FLAIR MR.
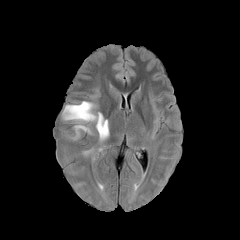
T1-weighted MR.
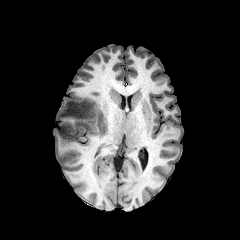
Post-contrast T1-weighted MRI.
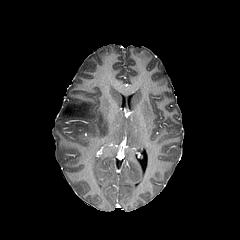
T2-weighted MRI.
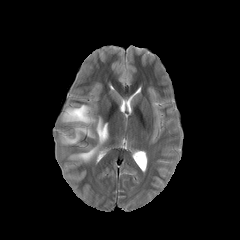
Brain
2 peritumoral edema regions are located at (left=62, top=101, right=109, bottom=142), (left=83, top=148, right=95, bottom=157).